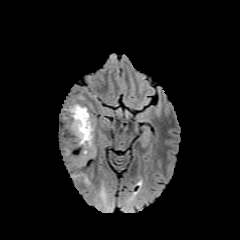
FLAIR magnetic resonance.
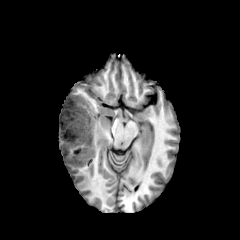
T1-weighted MRI.
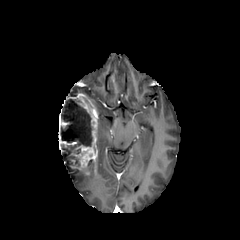
Post-contrast T1-weighted magnetic resonance.
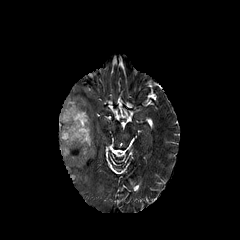
T2-weighted MRI of the same slice.
240x240 px. Axial plane.
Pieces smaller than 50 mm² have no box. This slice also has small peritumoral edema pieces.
The largest necrotic tumor core region is located at left=61, top=99, right=92, bottom=166. The largest enhancing tumor region lies within left=58, top=93, right=98, bottom=173.